Axial plane | Image size 240x240
FLAIR magnetic resonance.
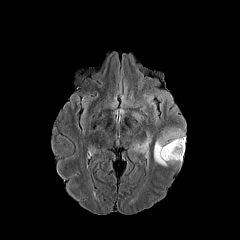
T1-weighted MR.
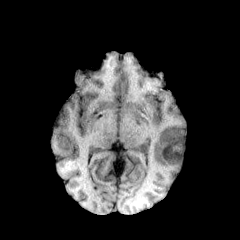
Post-contrast T1-weighted magnetic resonance.
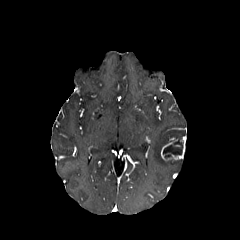
T2-weighted MR image.
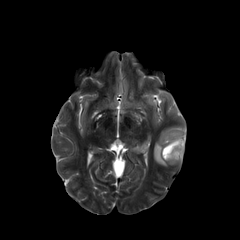
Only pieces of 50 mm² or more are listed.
enhancing tumor: 161, 137, 185, 161
peritumoral edema: 134, 142, 147, 153; 154, 130, 184, 166
necrotic tumor core: 163, 139, 183, 157